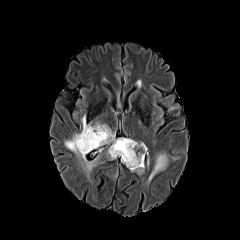
FLAIR magnetic resonance.
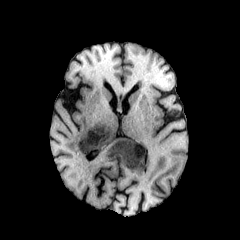
T1-weighted magnetic resonance.
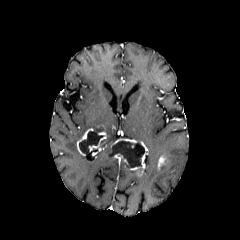
Same slice, post-contrast T1-weighted magnetic resonance.
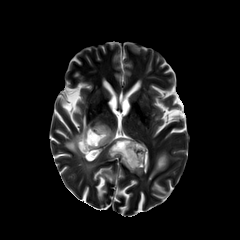
T2-weighted MR image.
Head | 240x240
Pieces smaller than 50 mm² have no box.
Findings:
• enhancing tumor: l=113, t=153, r=128, b=164; l=130, t=141, r=147, b=175; l=88, t=131, r=107, b=151; l=77, t=128, r=93, b=155; l=111, t=138, r=136, b=147; l=158, t=156, r=166, b=169
• peritumoral edema: l=62, t=115, r=101, b=177; l=147, t=153, r=168, b=182; l=103, t=124, r=115, b=143
• necrotic tumor core: l=110, t=140, r=144, b=167; l=79, t=127, r=104, b=153